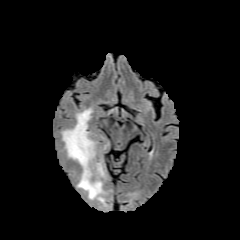
FLAIR MRI.
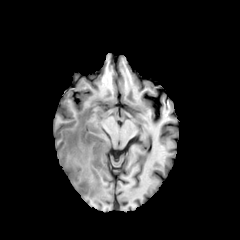
T1-weighted MR.
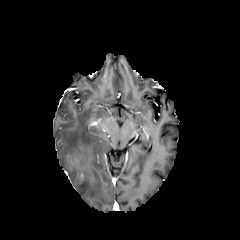
Post-contrast T1-weighted MR image of the same slice.
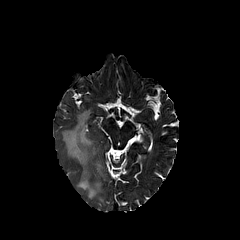
T2-weighted MR.
Axial slice | Brain | Image size 240x240
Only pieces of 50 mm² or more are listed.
{
  "peritumoral_edema": [
    "region(61, 108, 105, 205)"
  ],
  "enhancing_tumor": [
    "region(79, 173, 85, 184)"
  ]
}